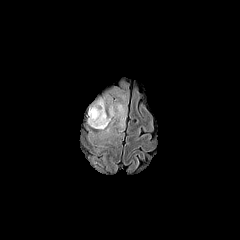
FLAIR MR.
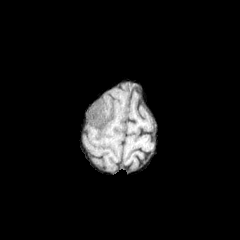
Same slice, T1-weighted MR image.
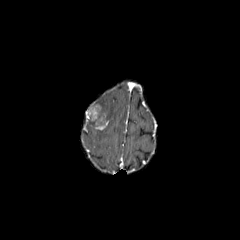
Post-contrast T1-weighted MR image.
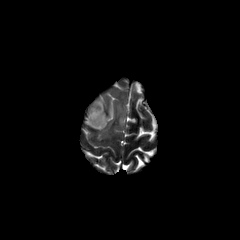
T2-weighted magnetic resonance.
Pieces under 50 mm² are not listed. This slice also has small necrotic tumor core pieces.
The enhancing tumor is located at <bbox>86, 104, 108, 130</bbox>. The 2 largest peritumoral edema regions are bounded by <bbox>99, 99, 126, 136</bbox>, <bbox>94, 98, 105, 112</bbox>.